Head
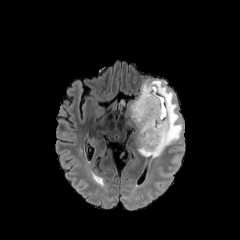
FLAIR magnetic resonance.
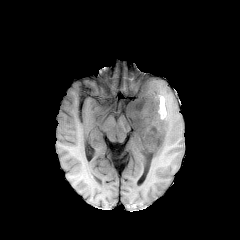
T1-weighted MR image of the same slice.
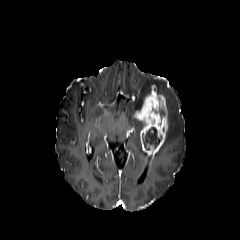
Same slice, post-contrast T1-weighted MRI.
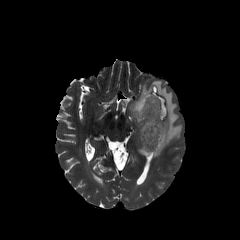
T2-weighted MR image.
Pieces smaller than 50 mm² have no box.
Annotated regions:
* enhancing tumor: x1=131 y1=84 x2=168 y2=155
* peritumoral edema: x1=128 y1=80 x2=182 y2=157
* necrotic tumor core: x1=143 y1=127 x2=160 y2=149